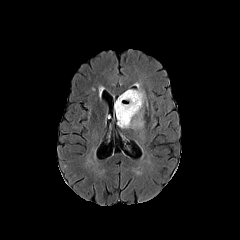
FLAIR MR image.
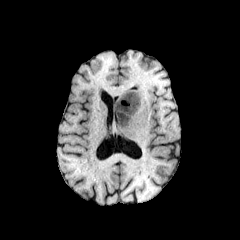
T1-weighted MRI.
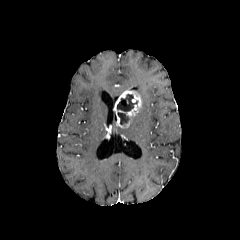
Post-contrast T1-weighted MRI.
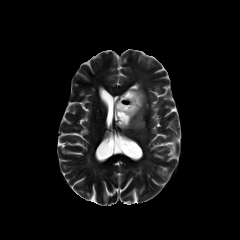
T2-weighted magnetic resonance.
Brain | 240x240 | Axial slice
2 necrotic tumor core regions appear at 117 94 137 111, 117 112 129 124. The enhancing tumor is located at 114 90 141 128. 2 peritumoral edema regions appear at 129 83 145 106, 128 107 144 129.